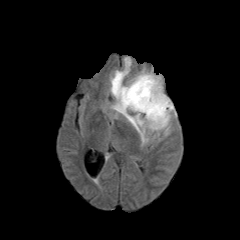
FLAIR MR.
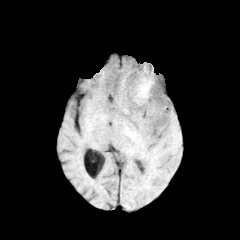
T1-weighted MR image of the same slice.
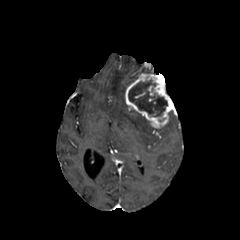
Post-contrast T1-weighted MRI.
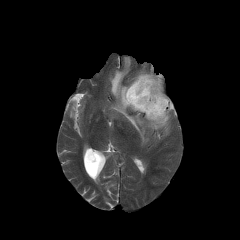
T2-weighted MR image of the same slice.
Image size 240x240 | Brain
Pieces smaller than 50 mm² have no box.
enhancing tumor: rect(125, 73, 176, 128) | peritumoral edema: rect(110, 57, 169, 144) | necrotic tumor core: rect(128, 80, 167, 116)